Slice 126/155, Image width 240 mm, 1.00 mm slice spacing, Brain
FLAIR magnetic resonance.
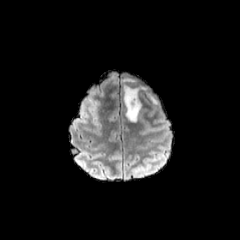
T1-weighted MR image.
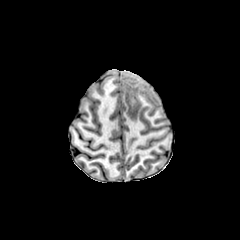
Post-contrast T1-weighted MR.
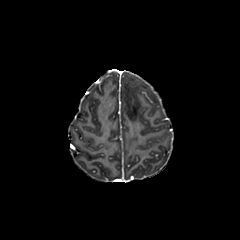
T2-weighted magnetic resonance.
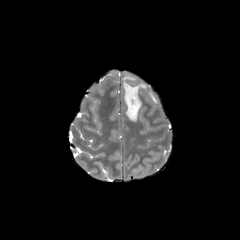
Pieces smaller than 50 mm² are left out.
<segmentation>
  <peritumoral_edema><bbox>124, 78, 143, 121</bbox></peritumoral_edema>
</segmentation>